Image size 240x240, Brain, Image width 240 mm, Slice 103 of 155, Axial plane
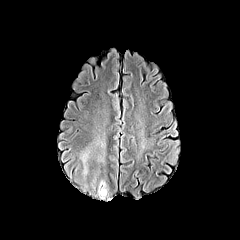
FLAIR MR image.
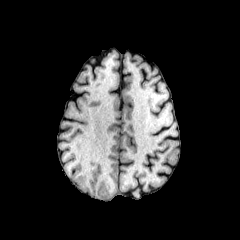
Same slice, T1-weighted MRI.
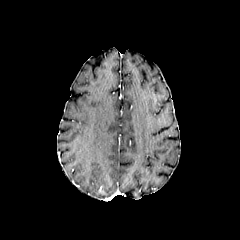
Same slice, post-contrast T1-weighted MRI.
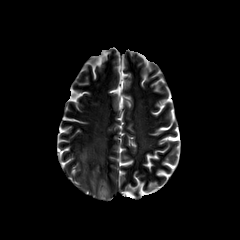
T2-weighted MRI.
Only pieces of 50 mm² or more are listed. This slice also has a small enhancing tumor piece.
<segmentation>
  <peritumoral_edema>box(97, 180, 108, 198)</peritumoral_edema>
</segmentation>